Slice 77 of 155 | Image width 240 mm | Axial slice
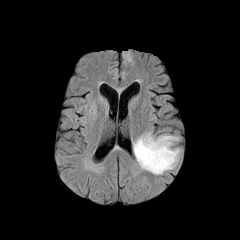
FLAIR magnetic resonance.
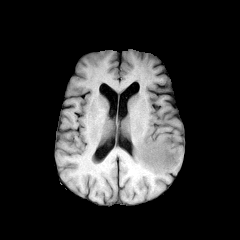
T1-weighted MR image of the same slice.
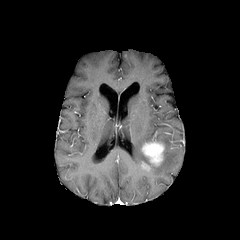
Same slice, post-contrast T1-weighted magnetic resonance.
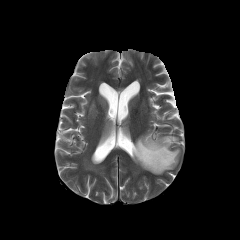
Same slice, T2-weighted magnetic resonance.
peritumoral edema at 124,52,132,60; 133,132,180,174
enhancing tumor at 141,141,164,169